FLAIR MR image.
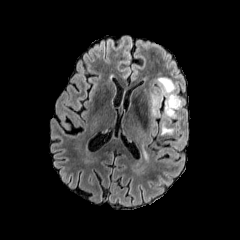
T1-weighted MR.
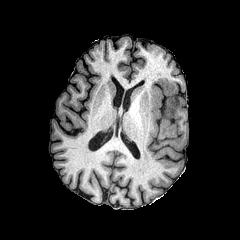
Post-contrast T1-weighted magnetic resonance.
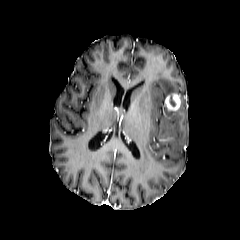
T2-weighted MR image.
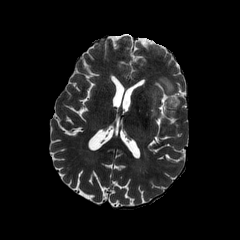
240x240 px; Axial plane
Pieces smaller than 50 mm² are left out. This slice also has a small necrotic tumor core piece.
<segmentation>
  <enhancing_tumor>x1=165 y1=93 x2=180 y2=112</enhancing_tumor>
  <peritumoral_edema>x1=152 y1=97 x2=157 y2=114, x1=165 y1=106 x2=175 y2=117, x1=162 y1=125 x2=173 y2=133, x1=158 y1=78 x2=174 y2=95</peritumoral_edema>
</segmentation>